Brain. Axial view.
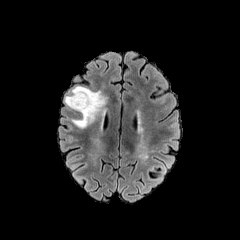
FLAIR MR image.
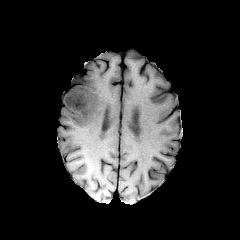
T1-weighted MR image of the same slice.
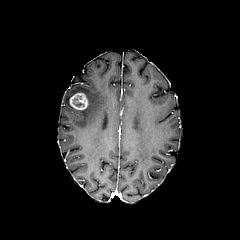
Post-contrast T1-weighted MR image of the same slice.
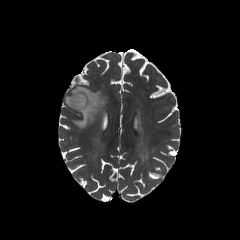
Same slice, T2-weighted magnetic resonance.
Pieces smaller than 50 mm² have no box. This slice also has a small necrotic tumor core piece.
• enhancing tumor: bbox=[69, 92, 88, 110]
• peritumoral edema: bbox=[64, 86, 105, 128]